Slice index 121 | Image covers 240 mm x 240 mm | Axial plane | Head
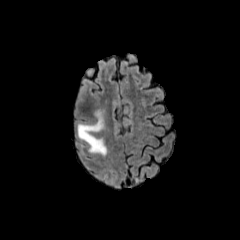
FLAIR magnetic resonance.
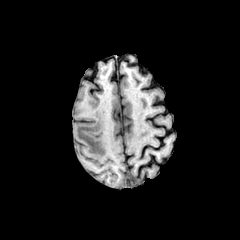
Same slice, T1-weighted MR image.
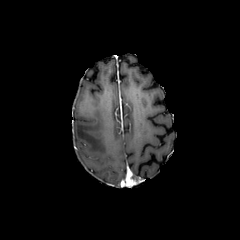
Post-contrast T1-weighted MR of the same slice.
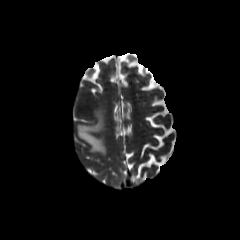
T2-weighted magnetic resonance of the same slice.
{
  "peritumoral_edema": [
    {"x1": 77, "y1": 107, "x2": 107, "y2": 157}
  ]
}